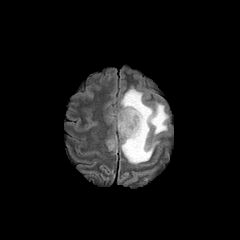
FLAIR MR.
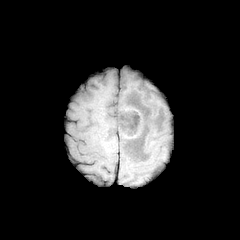
T1-weighted MR.
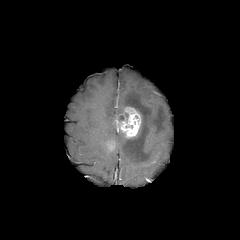
Same slice, post-contrast T1-weighted MR image.
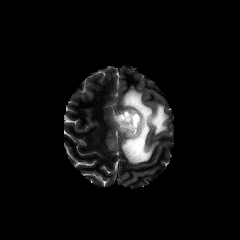
Same slice, T2-weighted MR image.
Brain. Image size 240x240.
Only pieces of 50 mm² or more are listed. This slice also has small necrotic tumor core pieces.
enhancing tumor = 114:107:141:138
peritumoral edema = 111:87:168:164